Axial plane. 240x240 px.
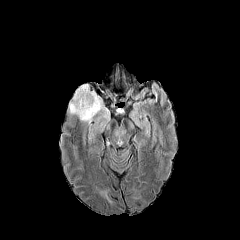
FLAIR MRI.
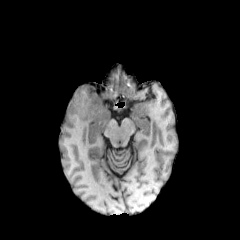
T1-weighted MR of the same slice.
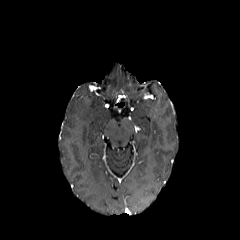
Post-contrast T1-weighted MR image.
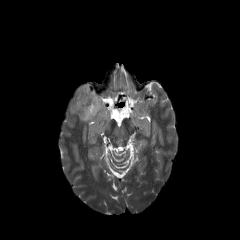
T2-weighted MR image.
The peritumoral edema is located at region(67, 83, 110, 132).